FLAIR MRI.
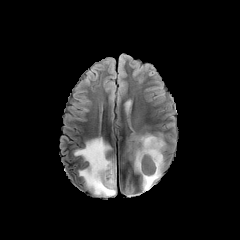
T1-weighted MR.
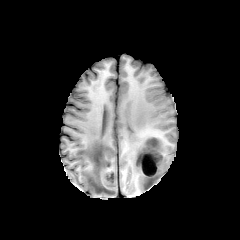
Post-contrast T1-weighted MR.
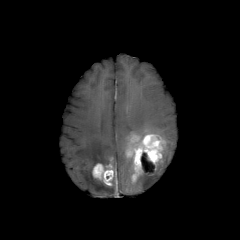
T2-weighted MR.
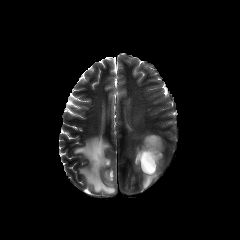
Axial slice, Head
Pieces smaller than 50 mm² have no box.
peritumoral edema: (74, 137, 116, 196), (140, 141, 165, 190)
necrotic tumor core: (141, 153, 155, 172)
enhancing tumor: (92, 163, 114, 185), (127, 134, 163, 179), (131, 136, 139, 142)